FLAIR magnetic resonance.
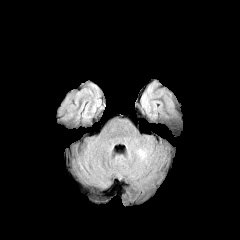
T1-weighted MR.
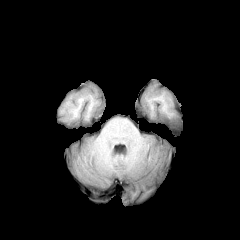
Post-contrast T1-weighted magnetic resonance.
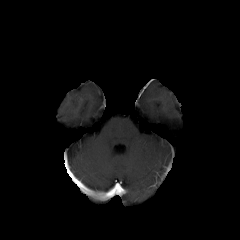
T2-weighted MR image.
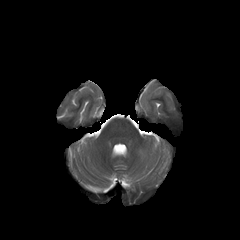
Axial plane.
<segmentation>
  <peritumoral_edema>140, 84, 152, 114</peritumoral_edema>
</segmentation>